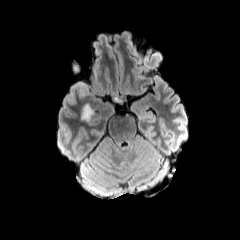
FLAIR MR.
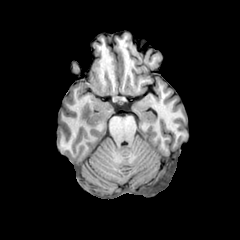
T1-weighted MR image of the same slice.
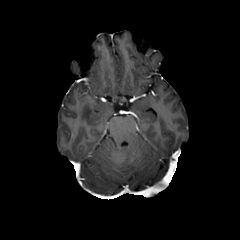
Post-contrast T1-weighted MR image.
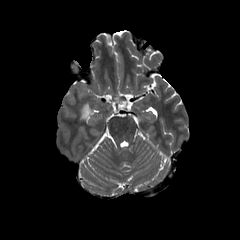
T2-weighted MRI.
240x240 px
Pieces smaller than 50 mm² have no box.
The largest peritumoral edema region appears at {"x1": 82, "y1": 104, "x2": 92, "y2": 119}.